Slice 70/155, Axial plane, Brain, Image size 240x240
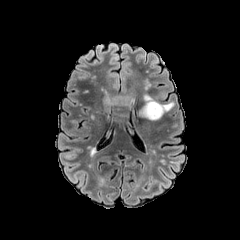
FLAIR MR.
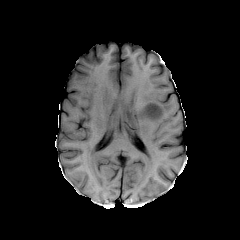
Same slice, T1-weighted MR.
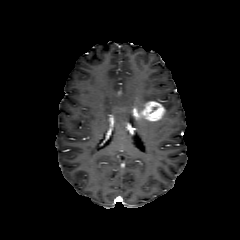
Post-contrast T1-weighted MR of the same slice.
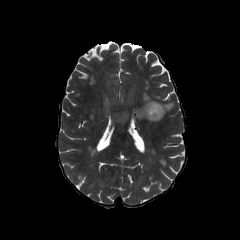
Same slice, T2-weighted MR image.
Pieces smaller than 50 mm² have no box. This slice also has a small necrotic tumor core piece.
enhancing tumor: 133, 101, 165, 121 | peritumoral edema: 143, 93, 174, 112